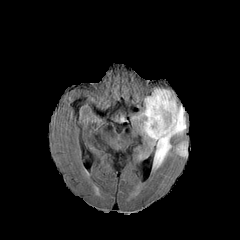
FLAIR MR image.
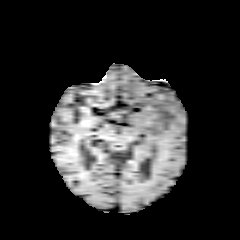
T1-weighted MRI.
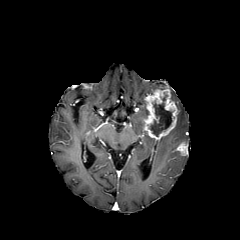
Post-contrast T1-weighted magnetic resonance.
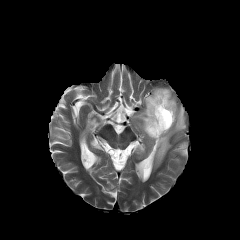
T2-weighted MR image.
Head
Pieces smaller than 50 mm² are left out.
enhancing_tumor:
  - (x1=143, y1=88, x2=178, y2=140)
  - (x1=176, y1=142, x2=187, y2=155)
necrotic_tumor_core:
  - (x1=150, y1=98, x2=171, y2=136)
peritumoral_edema:
  - (x1=132, y1=94, x2=186, y2=168)